FLAIR MR.
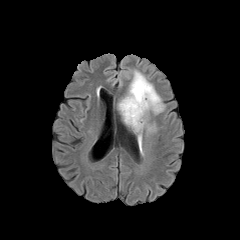
T1-weighted MRI.
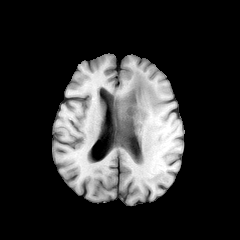
Post-contrast T1-weighted MR image.
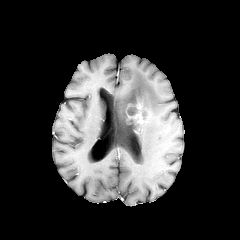
T2-weighted MR.
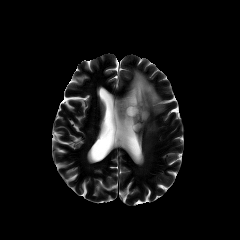
Head, 240x240 px
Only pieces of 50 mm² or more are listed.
necrotic_tumor_core:
  - <box>128,108,137,115</box>
enhancing_tumor:
  - <box>126,103,144,123</box>
peritumoral_edema:
  - <box>138,134,141,151</box>
  - <box>118,70,163,132</box>